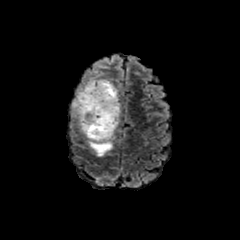
FLAIR MR image.
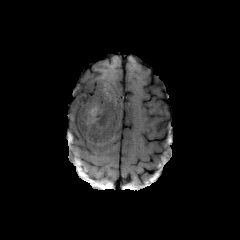
T1-weighted magnetic resonance of the same slice.
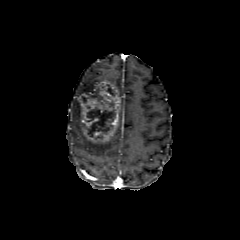
Same slice, post-contrast T1-weighted magnetic resonance.
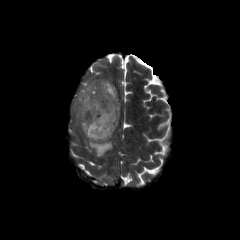
T2-weighted MR of the same slice.
Axial plane; Brain
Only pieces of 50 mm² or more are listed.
{"peritumoral_edema": ["box(87, 134, 116, 156)", "box(71, 78, 105, 127)"], "enhancing_tumor": ["box(77, 80, 120, 142)"], "necrotic_tumor_core": ["box(86, 107, 115, 136)", "box(106, 84, 114, 95)", "box(90, 89, 102, 101)"]}